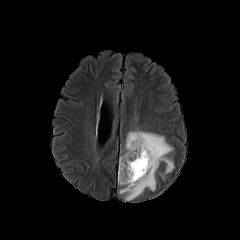
FLAIR MRI.
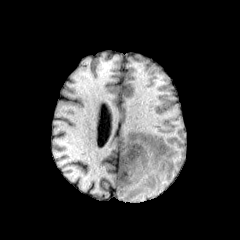
T1-weighted magnetic resonance.
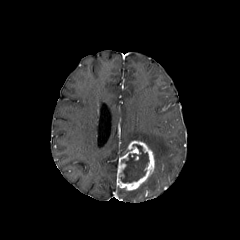
Post-contrast T1-weighted MR of the same slice.
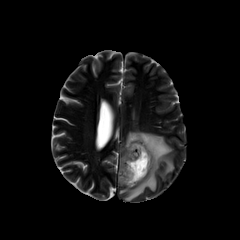
Same slice, T2-weighted magnetic resonance.
Head; 240x240
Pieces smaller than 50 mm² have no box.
enhancing tumor: bbox(117, 140, 154, 190) | necrotic tumor core: bbox(120, 144, 148, 182) | peritumoral edema: bbox(119, 129, 174, 201)